FLAIR MR image.
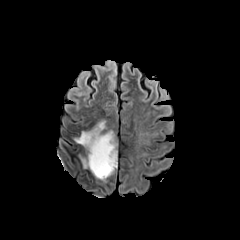
T1-weighted MR image.
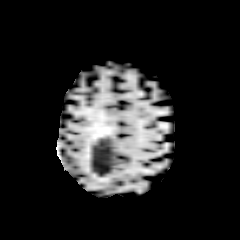
Post-contrast T1-weighted magnetic resonance.
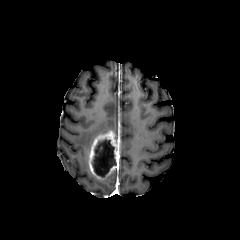
T2-weighted magnetic resonance.
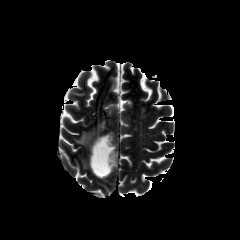
Head
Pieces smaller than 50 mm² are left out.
enhancing tumor — <box>88,131,118,180</box>
necrotic tumor core — <box>92,139,116,177</box>
peritumoral edema — <box>81,157,88,168</box>, <box>75,121,106,151</box>